Slice index 92, Brain, Axial slice
FLAIR MRI.
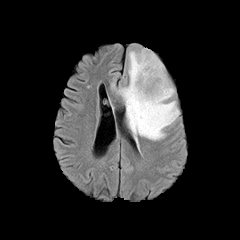
T1-weighted MR.
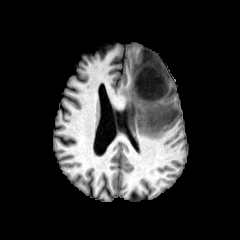
Post-contrast T1-weighted magnetic resonance.
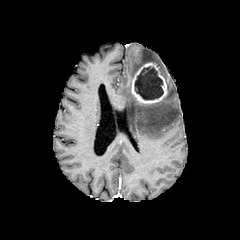
T2-weighted MR.
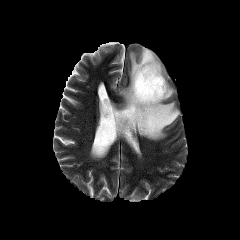
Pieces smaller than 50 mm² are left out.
The necrotic tumor core lies within (left=134, top=66, right=163, bottom=99). The enhancing tumor appears at (left=131, top=62, right=167, bottom=104). The largest peritumoral edema region is at (left=118, top=48, right=179, bottom=140).